Slice index 76 | Axial view
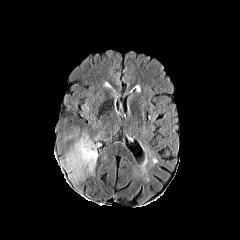
FLAIR MR image.
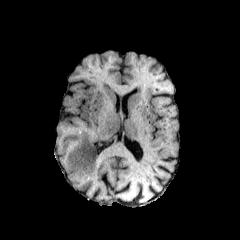
T1-weighted MR image.
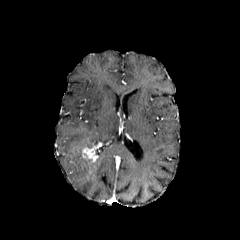
Same slice, post-contrast T1-weighted magnetic resonance.
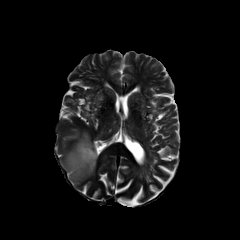
T2-weighted MRI.
{"peritumoral_edema": ["(65,134,99,181)"], "enhancing_tumor": ["(82,147,98,163)"]}